FLAIR MR.
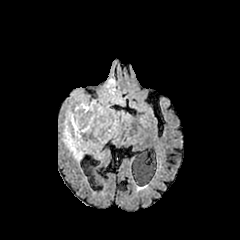
T1-weighted MRI.
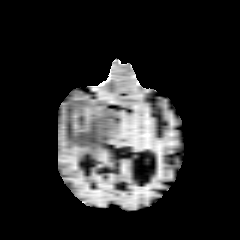
Post-contrast T1-weighted MR.
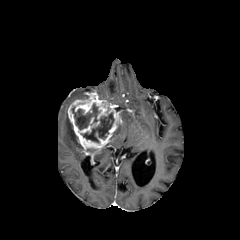
T2-weighted MR.
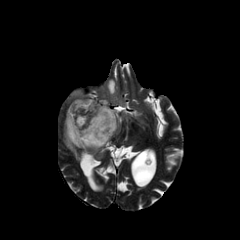
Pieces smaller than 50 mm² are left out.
- necrotic tumor core: bbox=[72, 104, 99, 129]; bbox=[81, 113, 114, 142]
- peritumoral edema: bbox=[73, 91, 88, 98]; bbox=[101, 78, 124, 105]; bbox=[121, 111, 129, 122]; bbox=[63, 114, 83, 160]
- enhancing tumor: bbox=[67, 92, 122, 153]